240x240 px | Slice index 122 | Axial slice
FLAIR MR.
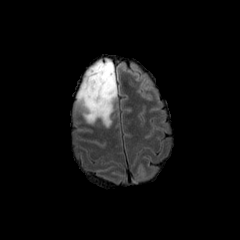
T1-weighted MR image.
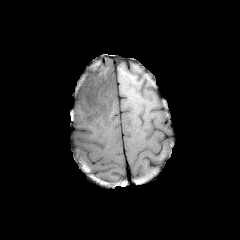
Post-contrast T1-weighted MR image.
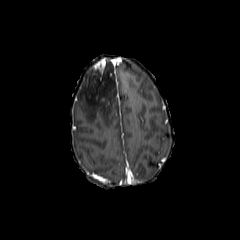
T2-weighted magnetic resonance.
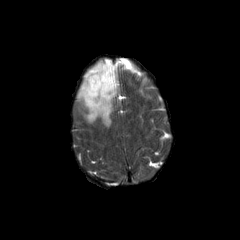
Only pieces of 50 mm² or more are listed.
peritumoral edema — 76,59,117,127
enhancing tumor — 93,60,104,73